FLAIR magnetic resonance.
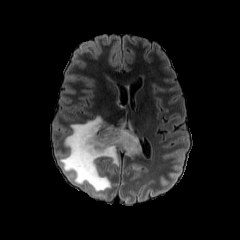
T1-weighted MR image.
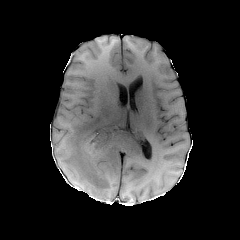
Post-contrast T1-weighted MR.
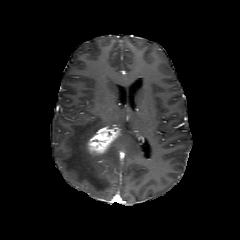
T2-weighted magnetic resonance.
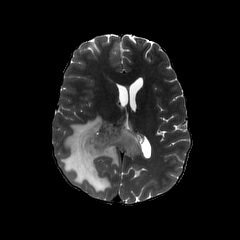
240x240
Segmented structures:
- enhancing tumor: rect(86, 126, 120, 155)
- peritumoral edema: rect(60, 115, 140, 192)